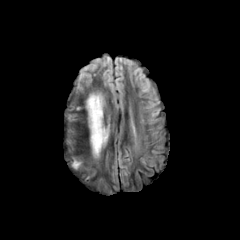
FLAIR MR image.
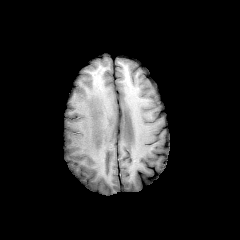
T1-weighted magnetic resonance.
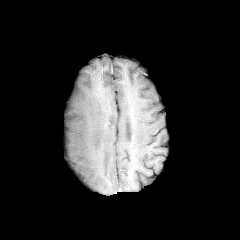
Post-contrast T1-weighted MR.
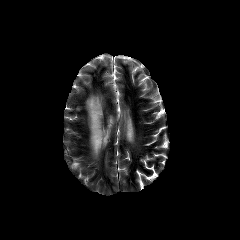
Same slice, T2-weighted magnetic resonance.
Head. 240x240 px.
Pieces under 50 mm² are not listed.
{
  "peritumoral_edema": [
    "(x1=87, y1=95, x2=107, y2=155)"
  ]
}